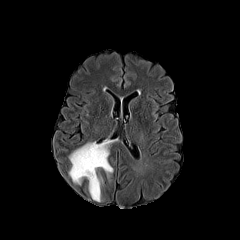
FLAIR MR image.
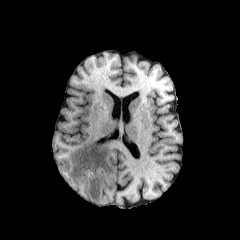
T1-weighted MR of the same slice.
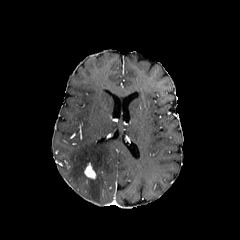
Same slice, post-contrast T1-weighted MR.
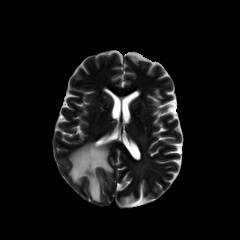
T2-weighted magnetic resonance.
240x240 px | Head
{"enhancing_tumor": ["(x1=84, y1=163, x2=96, y2=179)"], "peritumoral_edema": ["(x1=69, y1=140, x2=113, y2=201)"]}